FLAIR MR image.
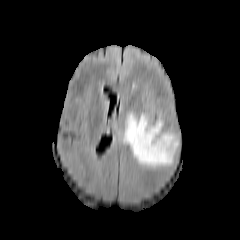
T1-weighted MR image.
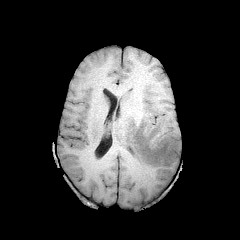
Post-contrast T1-weighted MRI.
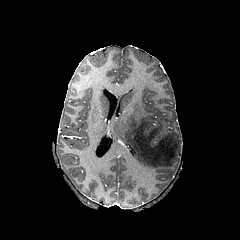
T2-weighted MR.
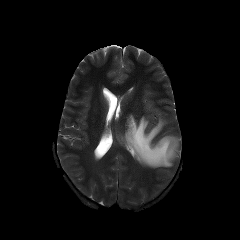
Axial plane | Head | 240x240
Annotated regions:
• peritumoral edema: x1=121 y1=113 x2=179 y2=168